Slice index 119 | Head | 240x240
FLAIR MRI.
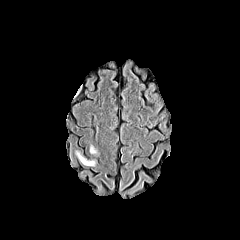
T1-weighted MRI.
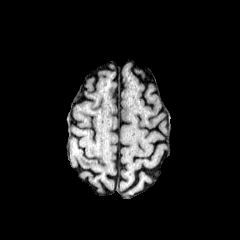
Post-contrast T1-weighted MR.
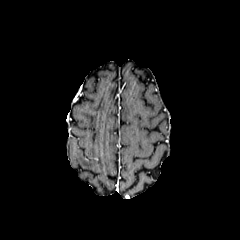
T2-weighted MR.
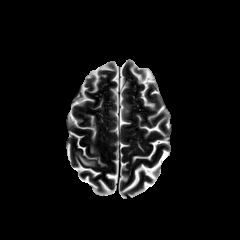
* peritumoral edema: box=[74, 150, 97, 167]; box=[89, 143, 100, 156]